Head. Slice 99 of 155.
FLAIR MR image.
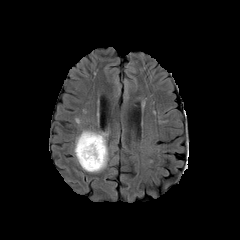
T1-weighted MR image.
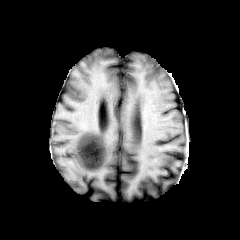
Post-contrast T1-weighted magnetic resonance.
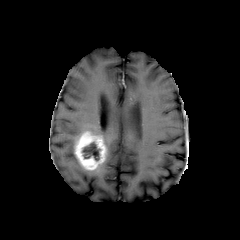
T2-weighted MR.
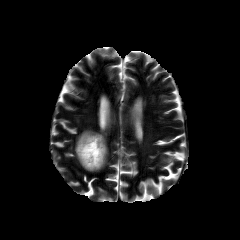
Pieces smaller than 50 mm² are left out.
Segmented structures:
* enhancing tumor: bbox(74, 131, 107, 170)
* necrotic tumor core: bbox(82, 142, 99, 160)
* peritumoral edema: bbox(75, 129, 108, 172)